Axial plane | Head | Slice index 79
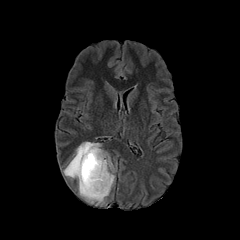
FLAIR MR.
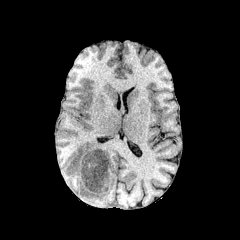
T1-weighted MR.
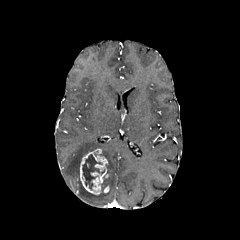
Post-contrast T1-weighted MR.
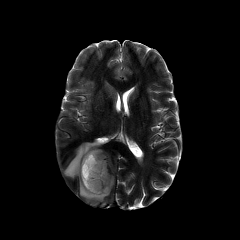
T2-weighted MR.
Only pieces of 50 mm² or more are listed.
{
  "peritumoral_edema": [
    "(x1=63, y1=142, x2=114, y2=204)"
  ],
  "enhancing_tumor": [
    "(x1=80, y1=148, x2=109, y2=194)"
  ],
  "necrotic_tumor_core": [
    "(x1=82, y1=154, x2=104, y2=189)"
  ]
}